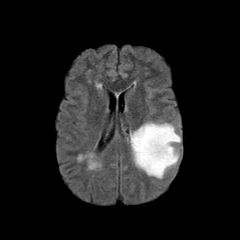
FLAIR MR image.
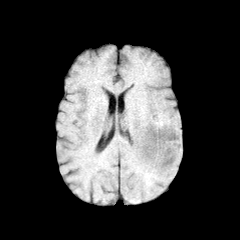
T1-weighted MRI of the same slice.
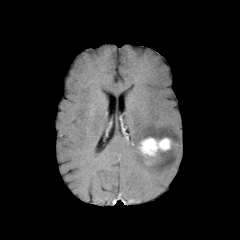
Post-contrast T1-weighted MR image.
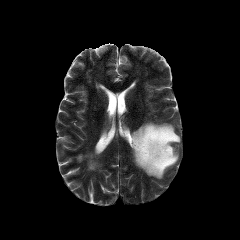
T2-weighted MR of the same slice.
240x240
enhancing tumor = l=137, t=137, r=172, b=164
peritumoral edema = l=130, t=121, r=181, b=178